Axial plane. Slice index 46.
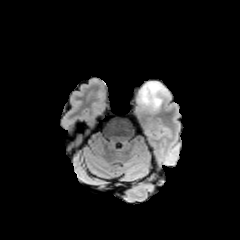
FLAIR MR image.
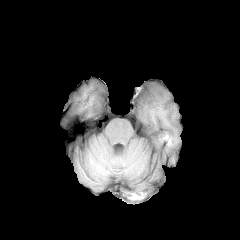
Same slice, T1-weighted MR.
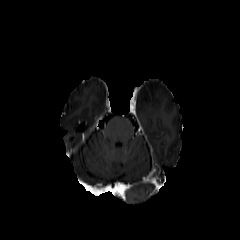
Same slice, post-contrast T1-weighted MRI.
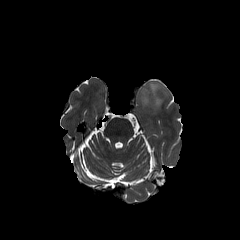
T2-weighted MR of the same slice.
The peritumoral edema is at rect(137, 81, 169, 111).